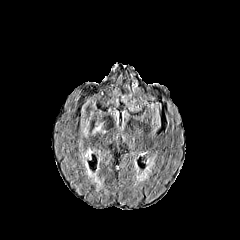
FLAIR magnetic resonance.
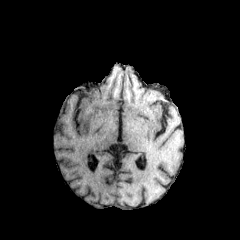
T1-weighted MR of the same slice.
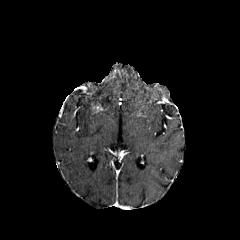
Post-contrast T1-weighted MR of the same slice.
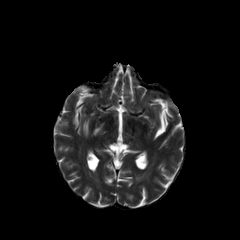
T2-weighted MRI of the same slice.
Brain
The peritumoral edema lies within region(92, 123, 103, 134).